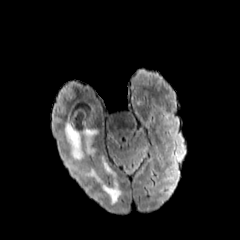
FLAIR MRI.
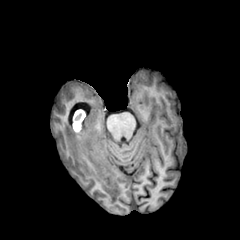
T1-weighted MRI.
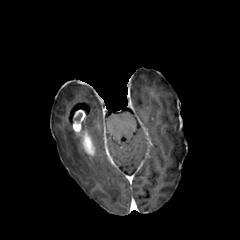
Post-contrast T1-weighted MR image of the same slice.
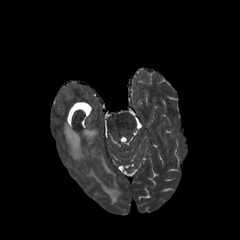
T2-weighted MR image.
240x240, Axial slice
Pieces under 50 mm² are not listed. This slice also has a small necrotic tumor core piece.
peritumoral edema: bounding box (99,155,115,177), (64,119,85,160), (86,128,98,139), (85,168,121,203)
enhancing tumor: bounding box (73,110,85,132), (81,128,95,156)